Brain. 240x240.
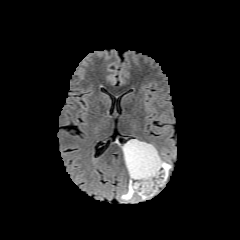
FLAIR MR image.
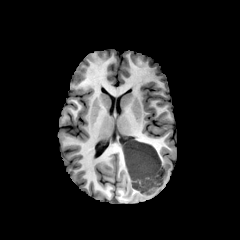
T1-weighted MR.
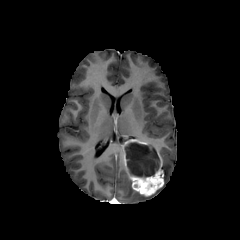
Post-contrast T1-weighted MR image.
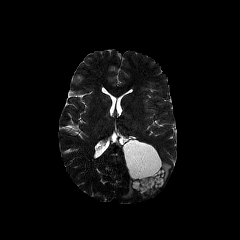
T2-weighted MR image.
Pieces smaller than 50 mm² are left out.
The 2 largest peritumoral edema regions appear at 121, 180, 147, 200; 161, 161, 171, 183. The necrotic tumor core is located at 125, 142, 159, 176. The enhancing tumor is bounded by 122, 139, 163, 196.